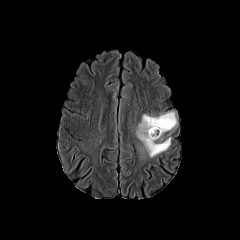
FLAIR magnetic resonance.
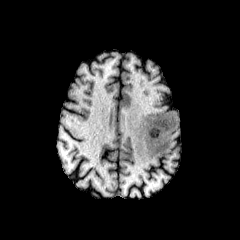
T1-weighted magnetic resonance of the same slice.
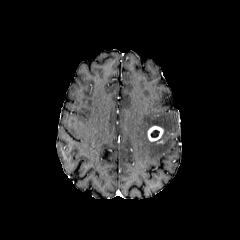
Post-contrast T1-weighted MRI.
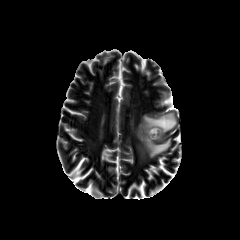
T2-weighted magnetic resonance.
240x240, Head
The peritumoral edema lies within <bbox>136, 111, 177, 157</bbox>. The enhancing tumor is at <bbox>147, 126, 163, 141</bbox>. The necrotic tumor core is bounded by <bbox>151, 130, 159, 137</bbox>.